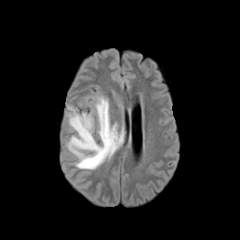
FLAIR magnetic resonance.
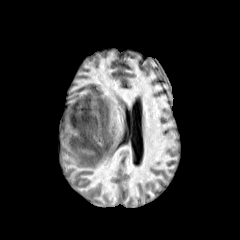
T1-weighted MR image.
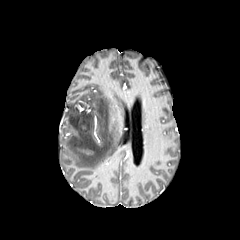
Post-contrast T1-weighted MR image.
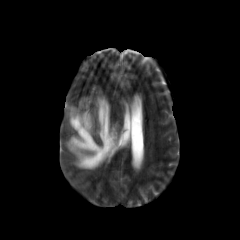
T2-weighted MR image of the same slice.
240x240 px
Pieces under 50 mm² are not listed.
Segmented structures:
• peritumoral edema: x1=67, y1=97, x2=123, y2=169